Brain. Axial view. Image size 240x240.
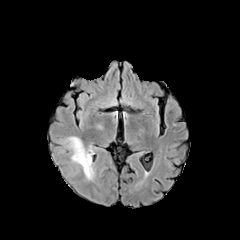
FLAIR magnetic resonance.
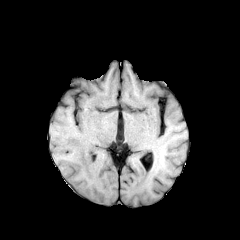
T1-weighted magnetic resonance.
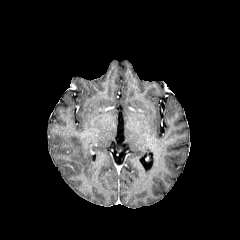
Post-contrast T1-weighted MR of the same slice.
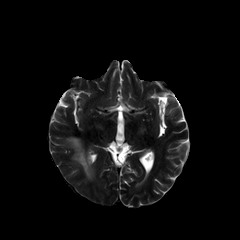
T2-weighted MR.
The peritumoral edema is located at 67,137,93,179.